Slice 89 of 155 | Head
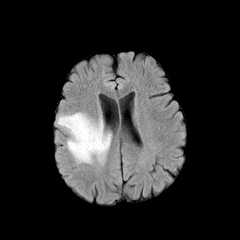
FLAIR MR.
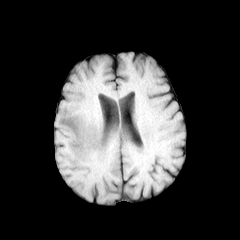
T1-weighted MR image.
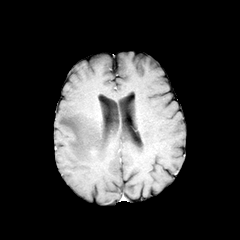
Post-contrast T1-weighted MR of the same slice.
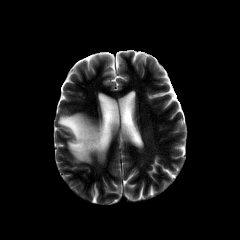
Same slice, T2-weighted MR image.
{"peritumoral_edema": ["rect(57, 112, 111, 163)"]}